FLAIR MR image.
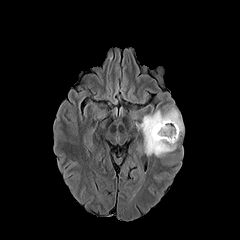
T1-weighted MR.
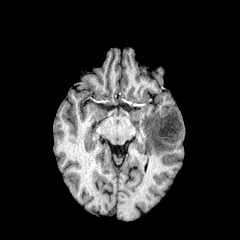
Post-contrast T1-weighted MR.
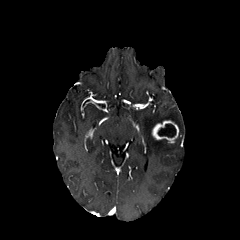
T2-weighted MR image.
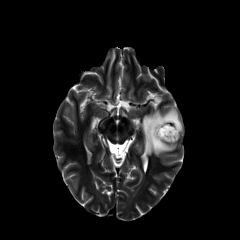
Axial view | Head
Segmented structures:
• necrotic tumor core: left=157, top=124, right=176, bottom=137
• enhancing tumor: left=152, top=120, right=178, bottom=143
• peritumoral edema: left=140, top=108, right=183, bottom=156